Head, Image size 240x240
FLAIR MR image.
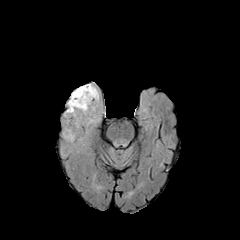
T1-weighted magnetic resonance.
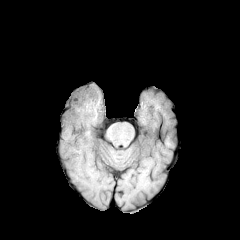
Post-contrast T1-weighted MRI.
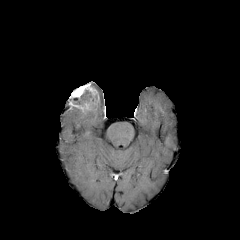
T2-weighted MRI.
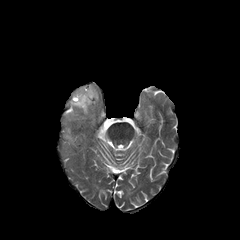
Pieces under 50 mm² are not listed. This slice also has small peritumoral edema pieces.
enhancing tumor: bbox=[68, 83, 99, 111] | necrotic tumor core: bbox=[81, 90, 91, 100]